FLAIR magnetic resonance.
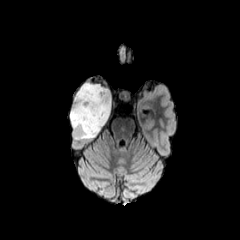
T1-weighted MRI.
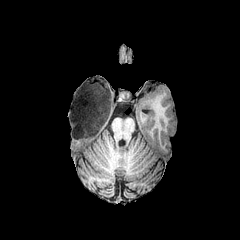
Post-contrast T1-weighted MR image.
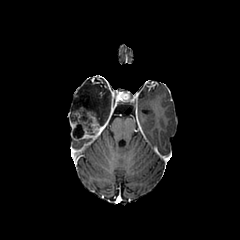
T2-weighted MR image.
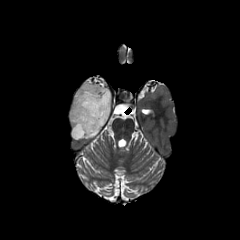
240x240; Head
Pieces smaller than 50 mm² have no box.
necrotic tumor core at box=[72, 116, 84, 138]; box=[79, 111, 92, 131]
peritumoral edema at box=[70, 82, 111, 126]
enhancing tumor at box=[70, 107, 102, 140]